FLAIR MRI.
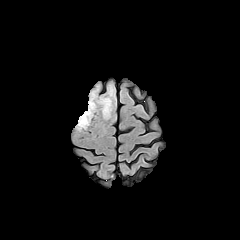
T1-weighted MRI.
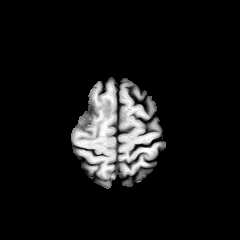
Post-contrast T1-weighted MR image.
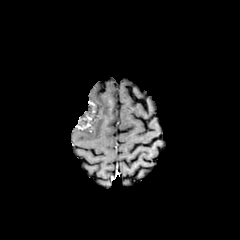
T2-weighted magnetic resonance.
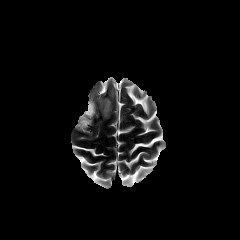
240x240 px | Brain | Axial view
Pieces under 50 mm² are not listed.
necrotic tumor core at (80,105,91,118)
enhancing tumor at (76,100,95,129)
peritumoral edema at (98,97,112,118)